Axial slice
FLAIR MR image.
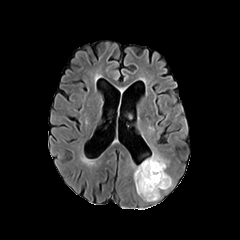
T1-weighted MR image.
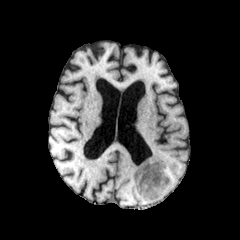
Post-contrast T1-weighted magnetic resonance.
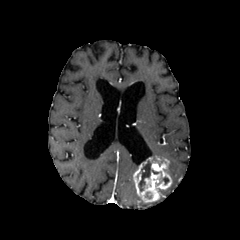
T2-weighted MRI.
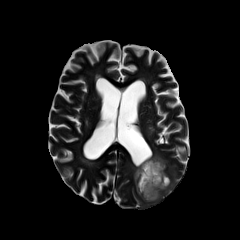
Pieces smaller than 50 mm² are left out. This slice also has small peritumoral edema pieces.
{"necrotic_tumor_core": [{"x1": 139, "y1": 161, "x2": 150, "y2": 191}], "enhancing_tumor": [{"x1": 133, "y1": 155, "x2": 171, "y2": 202}]}